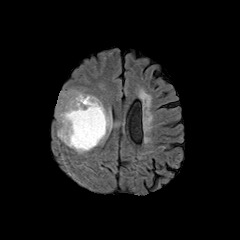
FLAIR MRI.
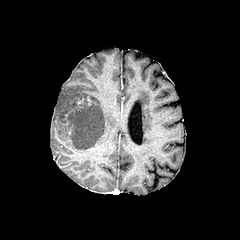
T1-weighted MR of the same slice.
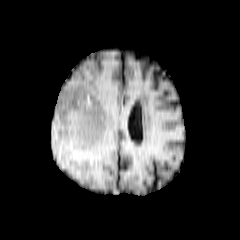
Same slice, post-contrast T1-weighted magnetic resonance.
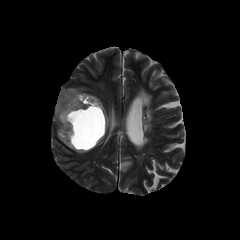
T2-weighted magnetic resonance of the same slice.
240x240 | Head
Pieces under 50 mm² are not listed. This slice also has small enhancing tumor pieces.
- necrotic tumor core: (69,103,105,148)
- peritumoral edema: (56,88,113,153)